240x240 px
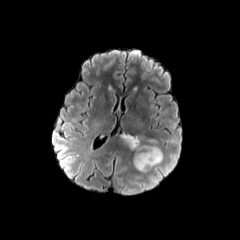
FLAIR magnetic resonance.
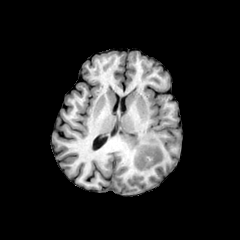
Same slice, T1-weighted MR image.
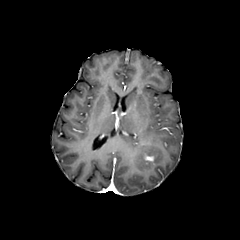
Post-contrast T1-weighted magnetic resonance.
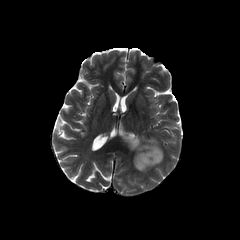
Same slice, T2-weighted MRI.
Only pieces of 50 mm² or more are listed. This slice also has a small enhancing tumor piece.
The largest peritumoral edema region is bounded by 121, 133, 163, 171.